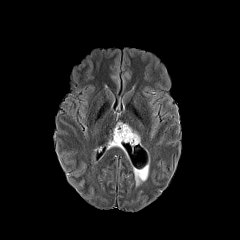
FLAIR magnetic resonance.
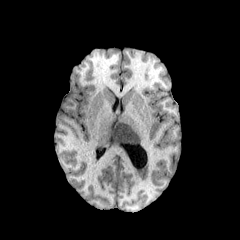
T1-weighted MR image of the same slice.
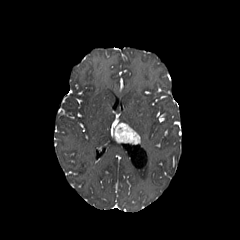
Post-contrast T1-weighted MR image of the same slice.
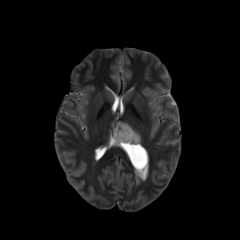
T2-weighted MR of the same slice.
Axial view; 240x240 px
peritumoral edema — <box>108,140,122,148</box>
enhancing tumor — <box>112,122,140,144</box>